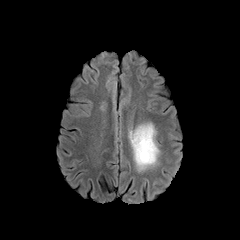
FLAIR MR.
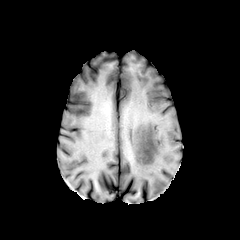
T1-weighted magnetic resonance.
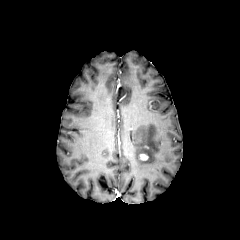
Post-contrast T1-weighted MR.
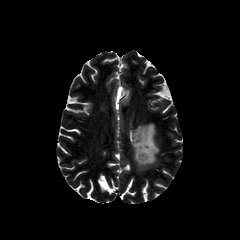
T2-weighted MR of the same slice.
Brain
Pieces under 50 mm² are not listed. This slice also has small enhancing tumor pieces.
Findings:
- peritumoral edema: 129,123,159,170